FLAIR MRI.
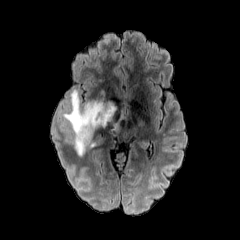
T1-weighted MRI.
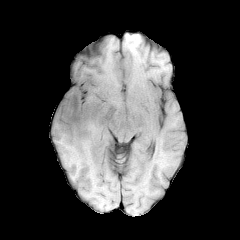
Post-contrast T1-weighted magnetic resonance.
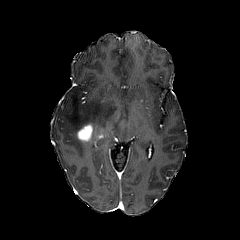
T2-weighted MR image.
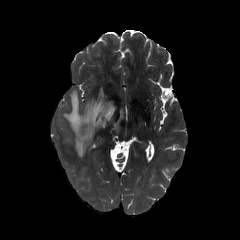
Brain
peritumoral edema at region(62, 90, 127, 156)
enhancing tumor at region(77, 124, 93, 141)